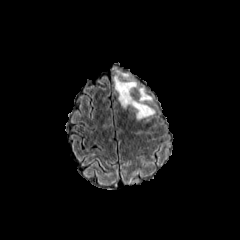
FLAIR magnetic resonance.
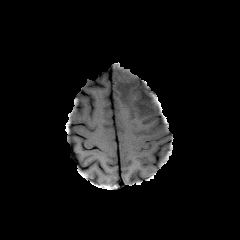
Same slice, T1-weighted MRI.
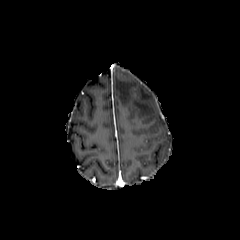
Post-contrast T1-weighted MR image.
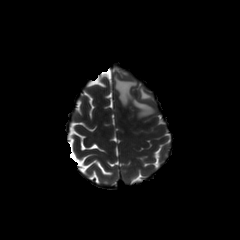
Same slice, T2-weighted MR.
240x240 px; Brain
peritumoral edema: l=114, t=73, r=155, b=119